FLAIR MR image.
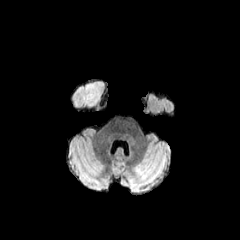
T1-weighted magnetic resonance.
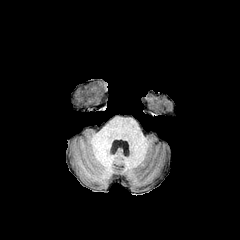
Post-contrast T1-weighted MR image.
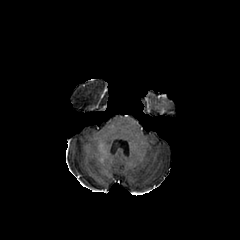
T2-weighted MR image.
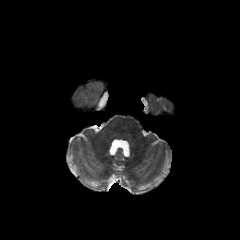
Segmented structures:
* peritumoral edema: (70,80,105,111)